240x240. Axial plane. Image width 240 mm, 1.00 mm slice spacing. Brain. Slice 85 of 155.
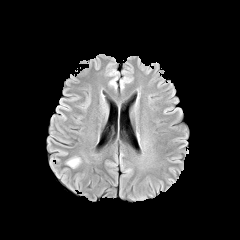
FLAIR MRI.
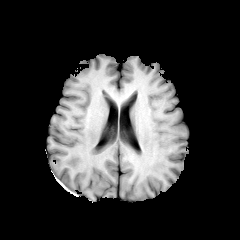
T1-weighted magnetic resonance of the same slice.
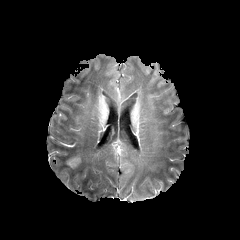
Post-contrast T1-weighted MR.
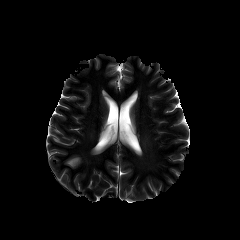
T2-weighted MR image.
peritumoral_edema:
  - (x1=66, y1=155, x2=80, y2=167)